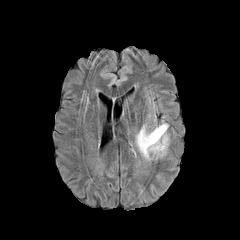
FLAIR MR image.
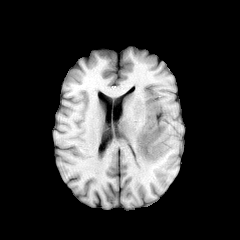
Same slice, T1-weighted MR image.
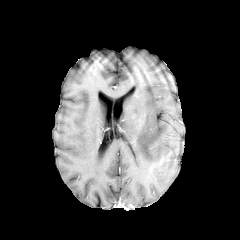
Post-contrast T1-weighted MRI.
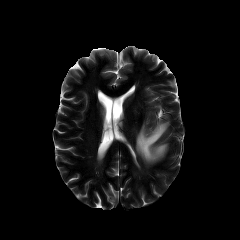
T2-weighted MRI.
peritumoral edema: bounding box [x1=136, y1=123, x2=168, y2=161]